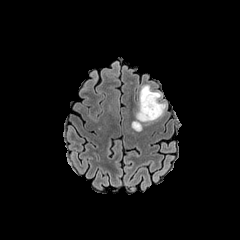
FLAIR magnetic resonance.
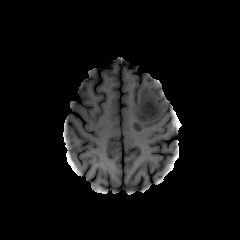
T1-weighted MRI.
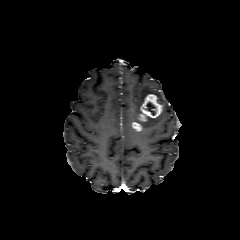
Post-contrast T1-weighted MR.
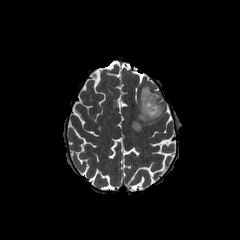
Same slice, T2-weighted magnetic resonance.
Axial view
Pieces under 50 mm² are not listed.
The necrotic tumor core lies within (146, 102, 155, 115). The largest peritumoral edema region is bounded by (133, 85, 165, 125). 2 enhancing tumor regions appear at (138, 94, 162, 121), (132, 122, 141, 130).